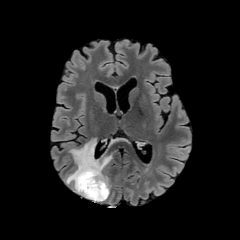
FLAIR magnetic resonance.
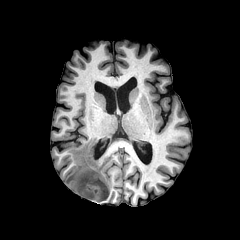
T1-weighted MRI.
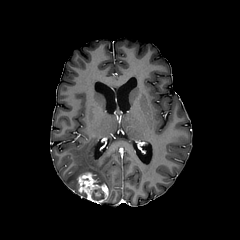
Post-contrast T1-weighted MR of the same slice.
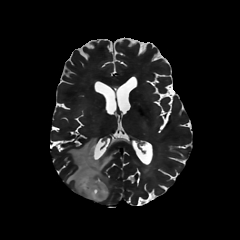
T2-weighted magnetic resonance.
Brain | Image size 240x240
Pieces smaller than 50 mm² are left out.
The largest enhancing tumor region is at x1=78 y1=172 x2=108 y2=203. The largest necrotic tumor core region is located at x1=92 y1=188 x2=104 y2=200. The peritumoral edema is bounded by x1=64 y1=138 x2=112 y2=195.